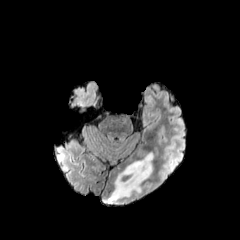
FLAIR MRI.
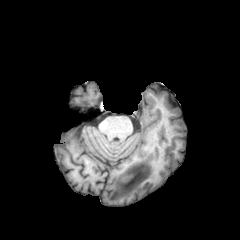
T1-weighted MR of the same slice.
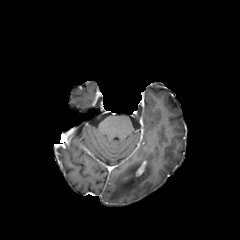
Post-contrast T1-weighted magnetic resonance.
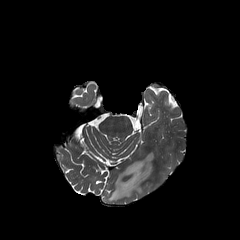
T2-weighted magnetic resonance of the same slice.
Brain | 240x240 | Axial plane
enhancing tumor: [135, 160, 147, 176] | peritumoral edema: [102, 152, 153, 204]